Brain
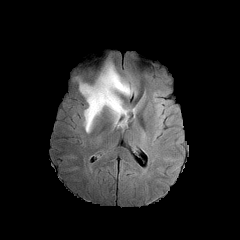
FLAIR MRI.
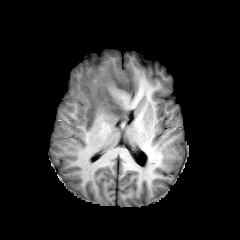
T1-weighted MR image of the same slice.
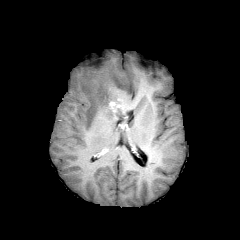
Post-contrast T1-weighted MR.
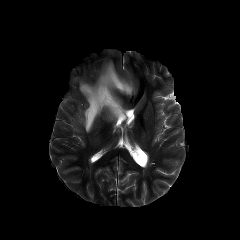
T2-weighted MRI.
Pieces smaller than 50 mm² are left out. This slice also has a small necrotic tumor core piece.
Segmented structures:
• enhancing tumor: bbox=[109, 99, 126, 118]
• peritumoral edema: bbox=[79, 62, 134, 132]